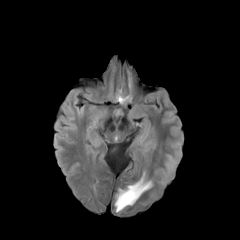
FLAIR MR.
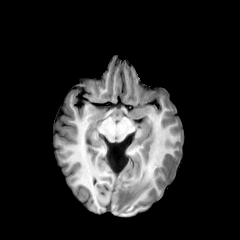
Same slice, T1-weighted magnetic resonance.
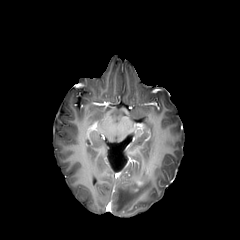
Same slice, post-contrast T1-weighted MR.
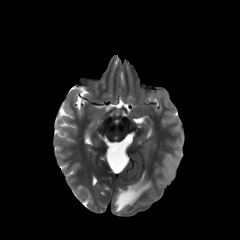
T2-weighted MRI of the same slice.
Axial plane | Head
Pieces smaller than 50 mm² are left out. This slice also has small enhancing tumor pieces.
The peritumoral edema is bounded by [x1=115, y1=172, x2=152, y2=212].